Image width 240 mm
FLAIR MR.
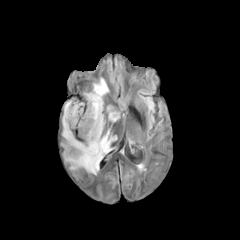
T1-weighted MR image.
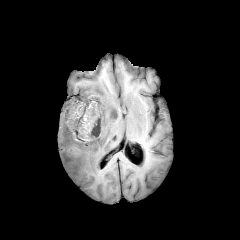
Post-contrast T1-weighted magnetic resonance.
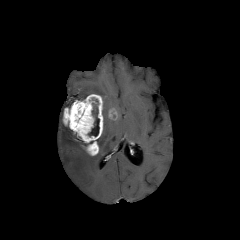
T2-weighted MR.
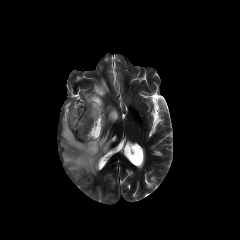
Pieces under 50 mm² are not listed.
enhancing tumor at {"x1": 108, "y1": 108, "x2": 118, "y2": 120}, {"x1": 62, "y1": 94, "x2": 103, "y2": 155}
peritumoral edema at {"x1": 62, "y1": 124, "x2": 114, "y2": 174}, {"x1": 84, "y1": 78, "x2": 109, "y2": 97}
necrotic tumor core at {"x1": 88, "y1": 103, "x2": 99, "y2": 136}